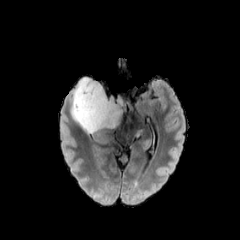
FLAIR magnetic resonance.
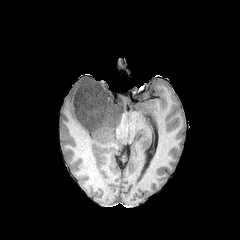
T1-weighted magnetic resonance of the same slice.
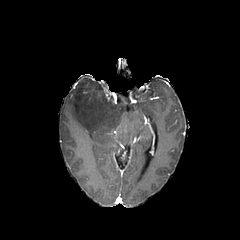
Post-contrast T1-weighted MR.
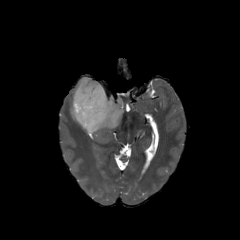
T2-weighted MR of the same slice.
Brain
peritumoral edema: 135:129:143:138, 71:76:127:139